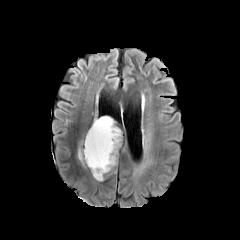
FLAIR magnetic resonance.
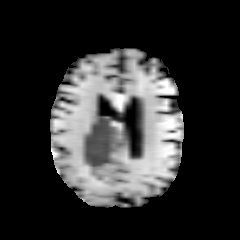
T1-weighted MR image.
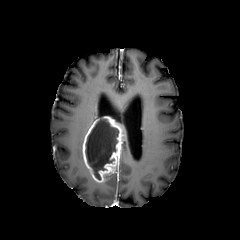
Post-contrast T1-weighted MR image.
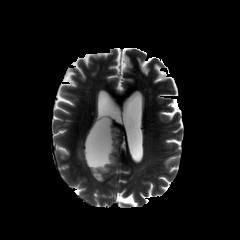
T2-weighted magnetic resonance.
240x240 px | Brain
<segmentation>
  <peritumoral_edema>[78,148,83,164]</peritumoral_edema>
  <enhancing_tumor>[82,116,124,182]</enhancing_tumor>
  <necrotic_tumor_core>[85,119,118,179]</necrotic_tumor_core>
</segmentation>